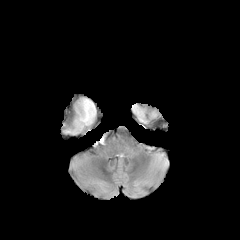
FLAIR MR image.
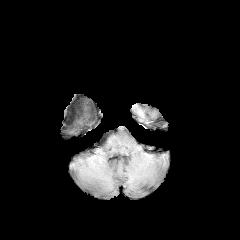
T1-weighted MR of the same slice.
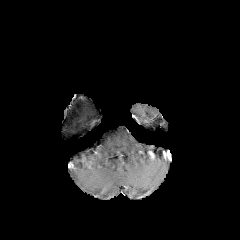
Post-contrast T1-weighted magnetic resonance.
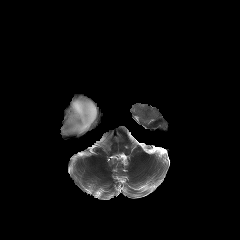
T2-weighted magnetic resonance.
Axial plane, Head
Annotated regions:
• peritumoral edema: <bbox>64, 98, 96, 133</bbox>